FLAIR MRI.
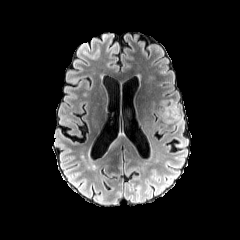
T1-weighted MRI.
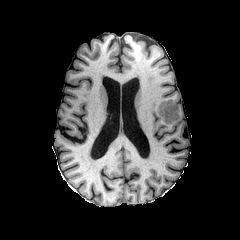
Post-contrast T1-weighted MR image.
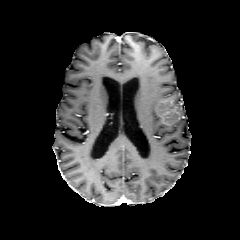
T2-weighted MRI.
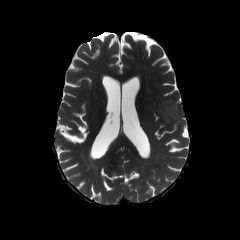
Brain
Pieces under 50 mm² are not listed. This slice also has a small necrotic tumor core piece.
The largest peritumoral edema region is bounded by x1=174, y1=101, x2=182, y2=123. The enhancing tumor is located at x1=161, y1=99, x2=177, y2=124.